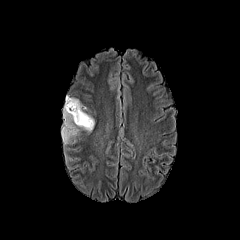
FLAIR magnetic resonance.
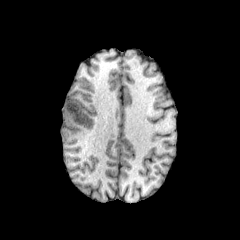
T1-weighted MR.
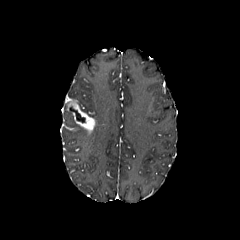
Post-contrast T1-weighted MR.
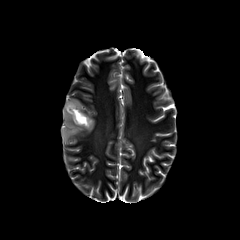
T2-weighted MRI.
Axial view, Brain
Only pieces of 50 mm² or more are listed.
{
  "necrotic_tumor_core": [
    "(68,106,85,122)"
  ],
  "peritumoral_edema": [
    "(62,107,83,144)"
  ],
  "enhancing_tumor": [
    "(64,96,95,133)"
  ]
}